FLAIR magnetic resonance.
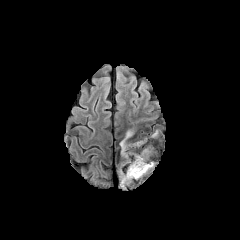
T1-weighted MR.
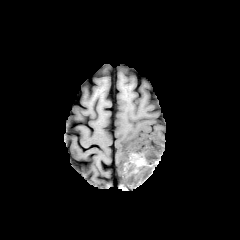
Post-contrast T1-weighted MR.
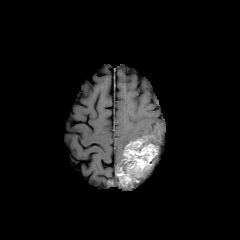
T2-weighted magnetic resonance.
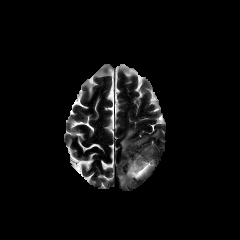
Brain. Image size 240x240.
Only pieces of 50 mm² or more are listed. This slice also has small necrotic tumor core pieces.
peritumoral edema: [x1=120, y1=130, x2=134, y2=156]
enhancing tumor: [x1=118, y1=136, x2=157, y2=185]